Slice index 106; Head
FLAIR MR.
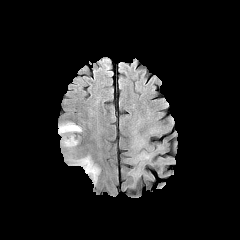
T1-weighted MRI.
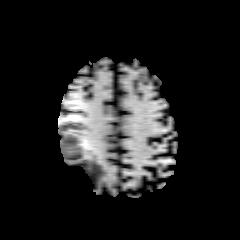
Post-contrast T1-weighted MRI.
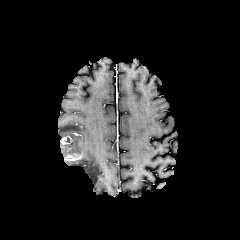
T2-weighted magnetic resonance.
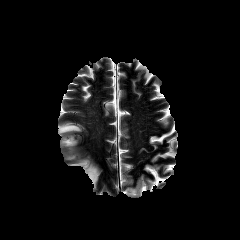
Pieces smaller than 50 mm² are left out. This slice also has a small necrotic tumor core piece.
<segmentation>
  <peritumoral_edema>(x1=58, y1=122, x2=81, y2=155), (x1=70, y1=156, x2=99, y2=184)</peritumoral_edema>
  <enhancing_tumor>(x1=64, y1=153, x2=82, y2=161), (x1=60, y1=136, x2=73, y2=148)</enhancing_tumor>
</segmentation>